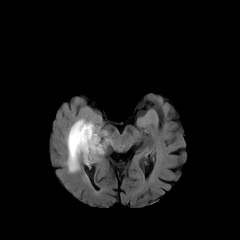
FLAIR magnetic resonance.
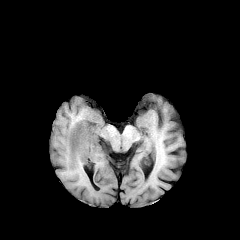
T1-weighted MR image of the same slice.
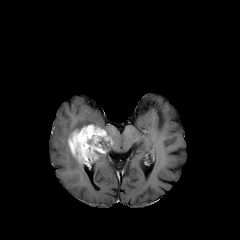
Same slice, post-contrast T1-weighted MRI.
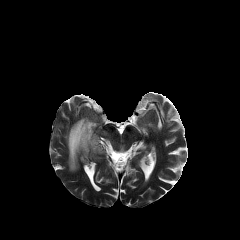
T2-weighted magnetic resonance.
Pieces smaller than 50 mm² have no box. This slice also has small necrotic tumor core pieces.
peritumoral edema: region(66, 118, 100, 172) | enhancing tumor: region(68, 124, 112, 166)